Image size 240x240
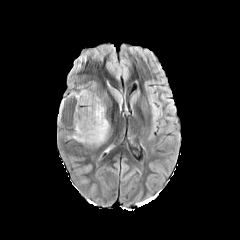
FLAIR magnetic resonance.
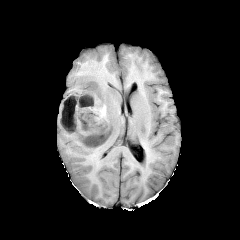
T1-weighted MR.
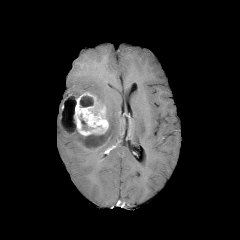
Post-contrast T1-weighted magnetic resonance.
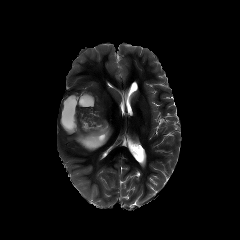
T2-weighted MR of the same slice.
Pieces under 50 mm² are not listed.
peritumoral edema: [68, 132, 87, 143], [72, 86, 110, 107]
enhancing tumor: [60, 92, 109, 146]
necrotic tumor core: [80, 96, 93, 107], [86, 133, 105, 144], [62, 97, 76, 132], [80, 119, 87, 130]